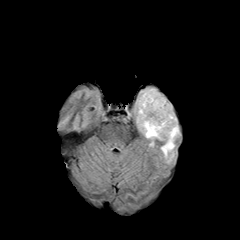
FLAIR magnetic resonance.
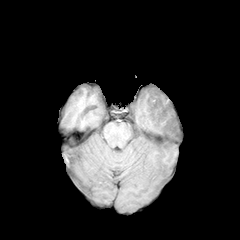
T1-weighted MR of the same slice.
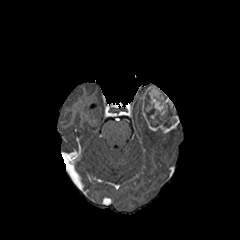
Post-contrast T1-weighted magnetic resonance.
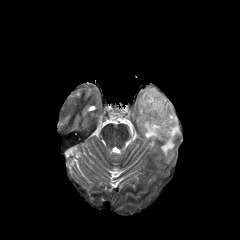
Same slice, T2-weighted MR image.
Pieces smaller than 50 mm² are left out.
The largest peritumoral edema region appears at [134,89,179,162]. The largest enhancing tumor region is located at [140,85,178,133]. The largest necrotic tumor core region is at [146,103,172,127].